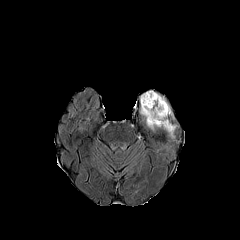
FLAIR MRI.
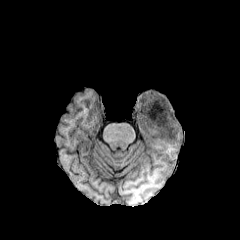
T1-weighted MRI of the same slice.
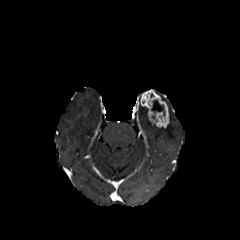
Post-contrast T1-weighted MR image of the same slice.
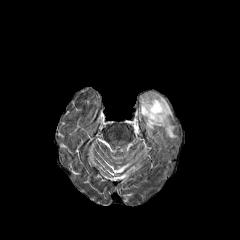
T2-weighted MR.
240x240
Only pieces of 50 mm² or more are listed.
necrotic tumor core: (151,100,164,115)
peritumoral edema: (167,103,174,120), (164,122,176,138), (140,106,157,130)
enhancing tumor: (140,90,169,128)